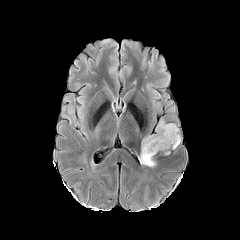
FLAIR magnetic resonance.
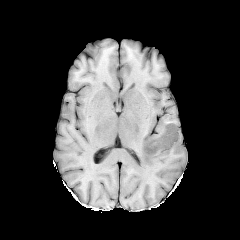
T1-weighted MR image of the same slice.
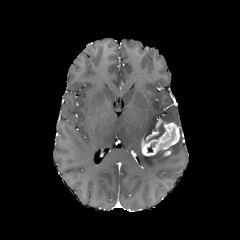
Post-contrast T1-weighted MRI.
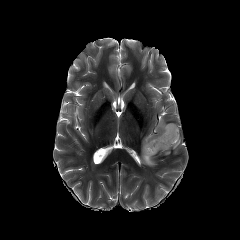
T2-weighted MRI.
240x240; Axial plane; Head
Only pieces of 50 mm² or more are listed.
{
  "enhancing_tumor": [
    "box=[141, 120, 179, 155]"
  ],
  "peritumoral_edema": [
    "box=[139, 151, 155, 166]",
    "box=[163, 136, 180, 151]"
  ],
  "necrotic_tumor_core": [
    "box=[148, 123, 165, 141]"
  ]
}